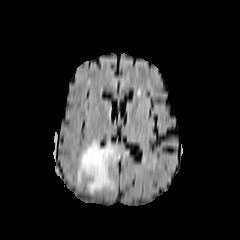
FLAIR MRI.
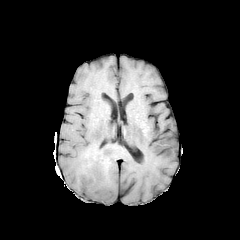
T1-weighted MR of the same slice.
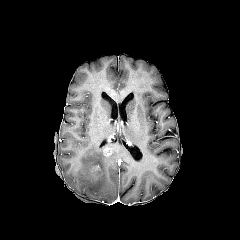
Post-contrast T1-weighted MRI.
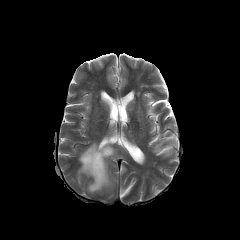
T2-weighted magnetic resonance of the same slice.
Head, 240x240 px
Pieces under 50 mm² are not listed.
enhancing tumor: bbox(103, 148, 111, 156) | peritumoral edema: bbox(77, 141, 127, 194)